FLAIR MRI.
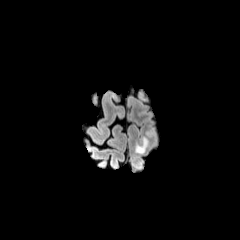
T1-weighted MRI.
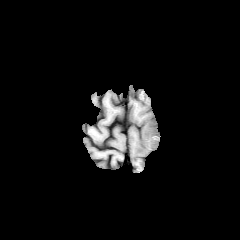
Post-contrast T1-weighted MR image.
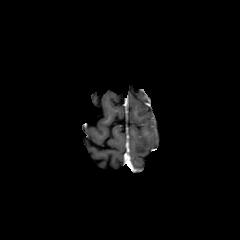
T2-weighted MR image.
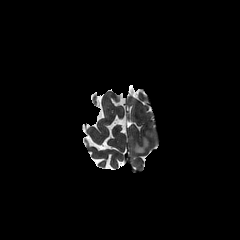
240x240 px. Head.
peritumoral_edema:
  - bbox(134, 128, 155, 153)